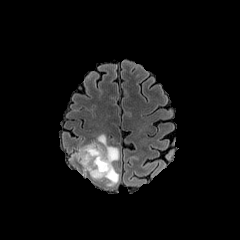
FLAIR MRI.
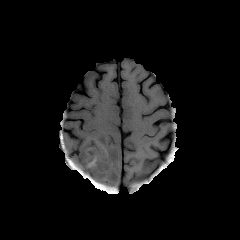
T1-weighted magnetic resonance of the same slice.
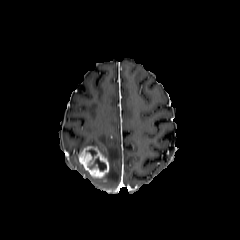
Same slice, post-contrast T1-weighted MR.
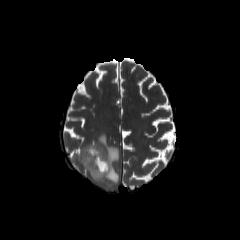
T2-weighted MR image of the same slice.
Axial view, Brain, 240x240
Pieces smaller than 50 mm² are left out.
necrotic tumor core at {"x1": 86, "y1": 149, "x2": 106, "y2": 170}
peritumoral edema at {"x1": 70, "y1": 133, "x2": 119, "y2": 185}
enhancing tumor at {"x1": 78, "y1": 146, "x2": 109, "y2": 178}